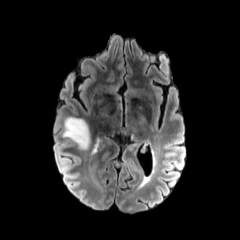
FLAIR MR.
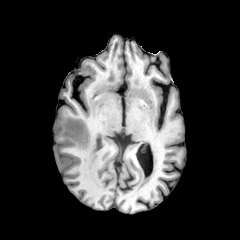
T1-weighted MR image.
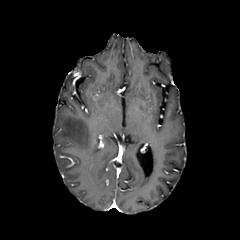
Post-contrast T1-weighted MR image of the same slice.
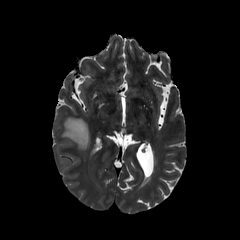
T2-weighted MR image.
Brain. 240x240 px.
• peritumoral edema: region(92, 138, 99, 153); region(61, 117, 89, 149)